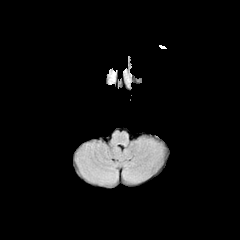
FLAIR magnetic resonance.
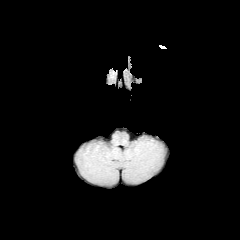
T1-weighted MRI of the same slice.
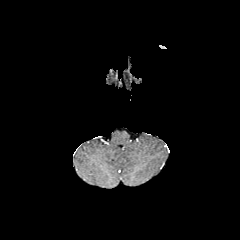
Post-contrast T1-weighted MR image.
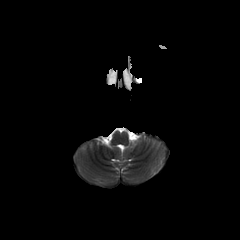
T2-weighted MR of the same slice.
240x240.
<segmentation>
  <peritumoral_edema>box(107, 68, 117, 84)</peritumoral_edema>
</segmentation>